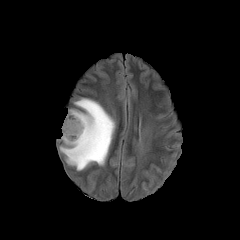
FLAIR MRI.
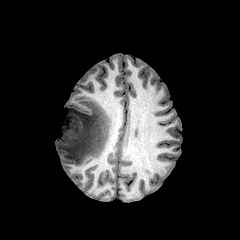
T1-weighted magnetic resonance.
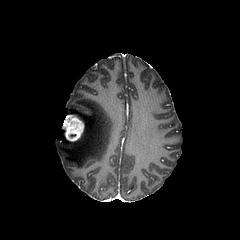
Post-contrast T1-weighted MRI of the same slice.
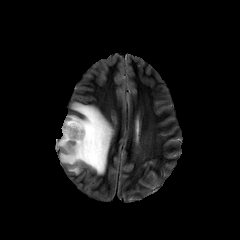
Same slice, T2-weighted MRI.
Image size 240x240
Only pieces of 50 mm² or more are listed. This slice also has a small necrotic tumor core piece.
peritumoral edema at [59,98,115,170]
enhancing tumor at [63,115,84,141]